Slice 52/155, Image size 240x240
FLAIR magnetic resonance.
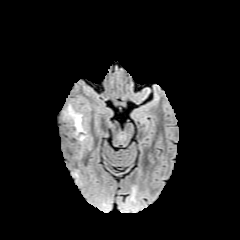
T1-weighted MR.
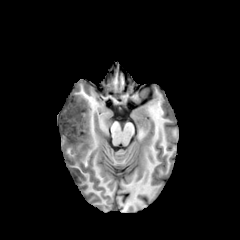
Post-contrast T1-weighted magnetic resonance.
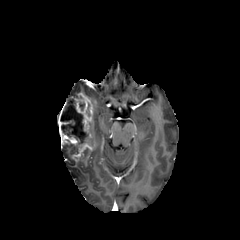
T2-weighted magnetic resonance.
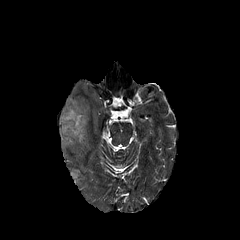
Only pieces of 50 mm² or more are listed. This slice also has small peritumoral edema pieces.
necrotic tumor core: bounding box 60:100:88:144, 62:143:78:152
enhancing tumor: bounding box 58:93:92:161